FLAIR MR image.
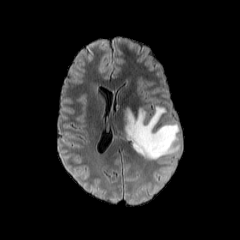
T1-weighted MR image.
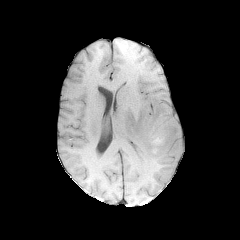
Post-contrast T1-weighted MR.
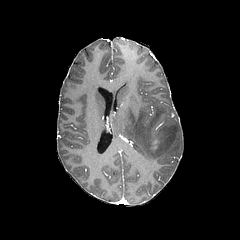
T2-weighted MR.
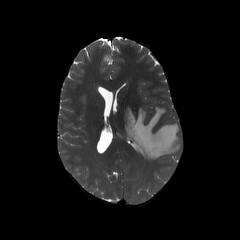
Brain
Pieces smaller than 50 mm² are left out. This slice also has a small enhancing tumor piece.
{"peritumoral_edema": ["125 106 180 159"]}